240x240; Image covers 240 mm x 240 mm; Slice index 72
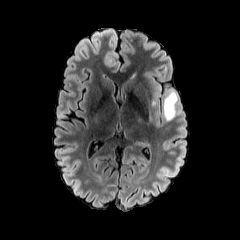
FLAIR MR image.
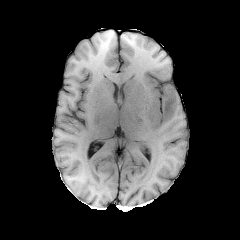
T1-weighted magnetic resonance.
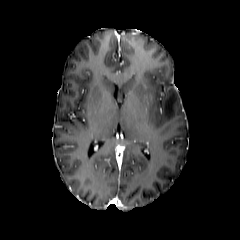
Post-contrast T1-weighted MR.
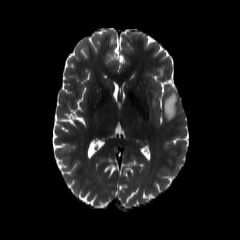
Same slice, T2-weighted MR image.
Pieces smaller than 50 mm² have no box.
The largest peritumoral edema region is bounded by [163, 89, 178, 121].